FLAIR MRI.
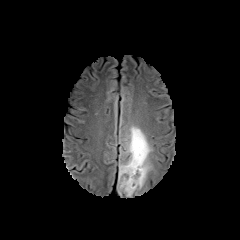
T1-weighted MRI.
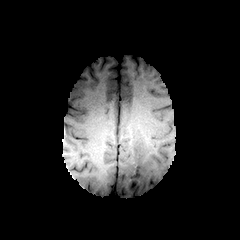
Post-contrast T1-weighted magnetic resonance.
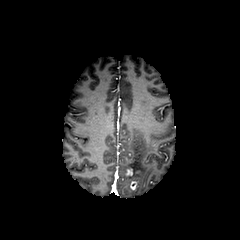
T2-weighted MR image.
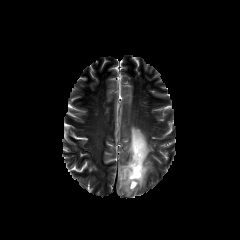
Brain, Axial plane, Image size 240x240
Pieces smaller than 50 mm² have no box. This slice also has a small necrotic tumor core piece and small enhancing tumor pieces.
peritumoral_edema:
  - left=119, top=126, right=151, bottom=196